FLAIR MR image.
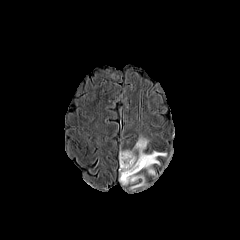
T1-weighted magnetic resonance.
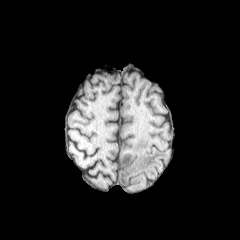
Post-contrast T1-weighted MR image.
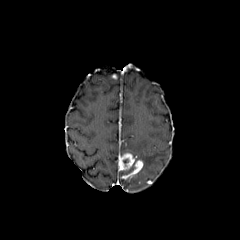
T2-weighted MR image.
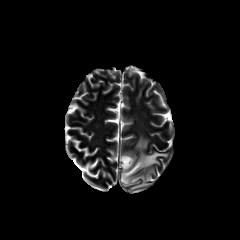
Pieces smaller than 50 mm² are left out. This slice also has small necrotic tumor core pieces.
enhancing_tumor:
  - box=[119, 153, 134, 172]
  - box=[121, 160, 143, 179]
peritumoral_edema:
  - box=[120, 174, 145, 190]
  - box=[120, 137, 166, 174]